Image covers 240 mm x 240 mm. Brain.
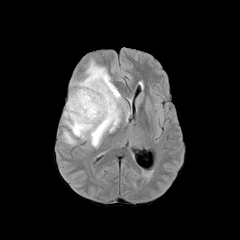
FLAIR MR.
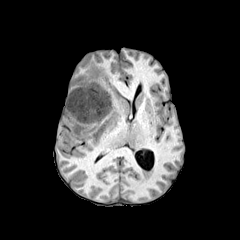
T1-weighted MR.
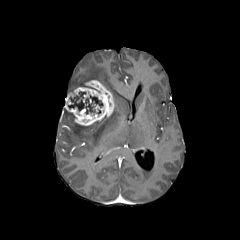
Post-contrast T1-weighted MRI.
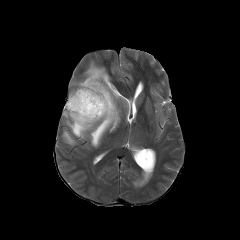
T2-weighted MR.
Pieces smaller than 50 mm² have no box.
enhancing_tumor:
  - x1=64 y1=80 x2=114 y2=125
peritumoral_edema:
  - x1=63 y1=131 x2=74 y2=144
  - x1=64 y1=60 x2=121 y2=147
necrotic_tumor_core:
  - x1=68 y1=92 x2=102 y2=114